Axial plane
FLAIR MRI.
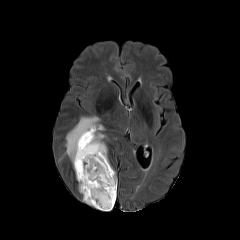
T1-weighted MR.
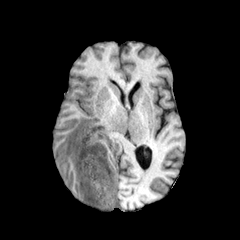
Post-contrast T1-weighted MRI.
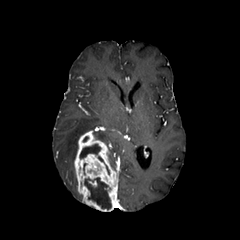
T2-weighted magnetic resonance.
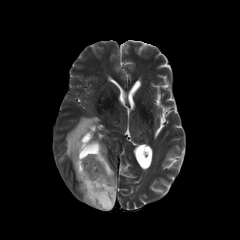
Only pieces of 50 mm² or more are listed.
Annotated regions:
* enhancing tumor: bbox=[74, 130, 117, 211]
* necrotic tumor core: bbox=[80, 144, 100, 158]; bbox=[84, 177, 111, 209]
* peritumoral edema: bbox=[93, 131, 105, 141]; bbox=[60, 116, 102, 169]